FLAIR MR.
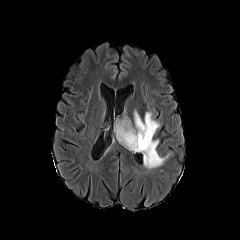
T1-weighted MR image.
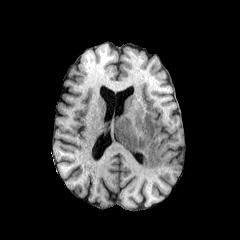
Post-contrast T1-weighted MRI.
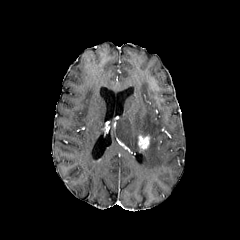
T2-weighted MRI.
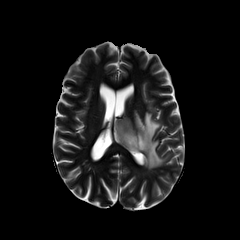
Brain
{"peritumoral_edema": ["<bbox>116, 110, 169, 169</bbox>"], "enhancing_tumor": ["<bbox>138, 135, 150, 150</bbox>"]}